FLAIR MRI.
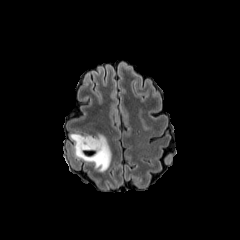
T1-weighted MR.
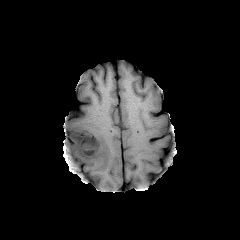
Post-contrast T1-weighted MR.
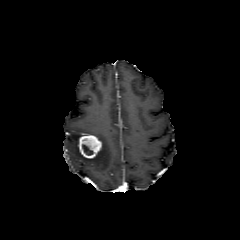
T2-weighted MR image.
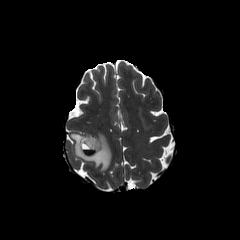
240x240, Axial slice, Head
Annotated regions:
• peritumoral edema: bbox(70, 132, 111, 171)
• enhancing tumor: bbox(78, 135, 101, 158)
• necrotic tumor core: bbox(82, 145, 93, 154)